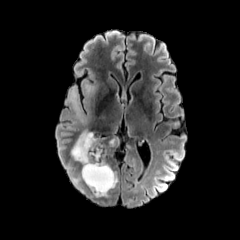
FLAIR MRI.
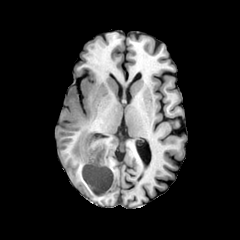
T1-weighted MRI of the same slice.
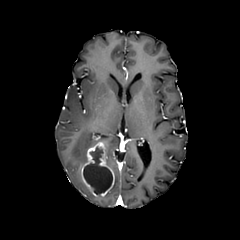
Post-contrast T1-weighted MR image.
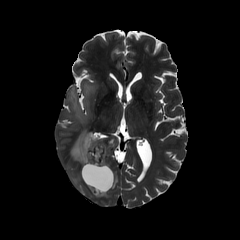
T2-weighted MR image of the same slice.
Axial slice
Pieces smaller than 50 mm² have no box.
The enhancing tumor appears at box=[81, 141, 114, 196]. The 2 largest peritumoral edema regions appear at box=[66, 78, 98, 126]; box=[71, 130, 101, 164]. The necrotic tumor core is at box=[83, 146, 112, 194].